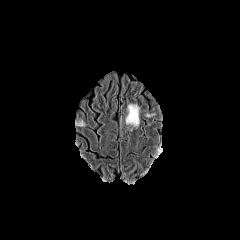
FLAIR magnetic resonance.
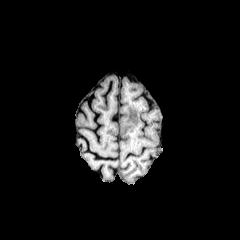
Same slice, T1-weighted MR image.
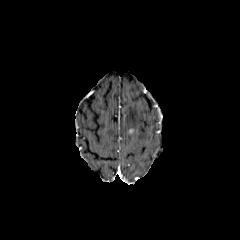
Post-contrast T1-weighted MR image.
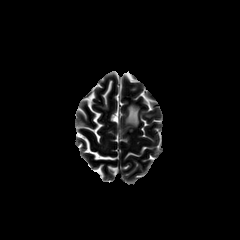
Same slice, T2-weighted MR image.
Head
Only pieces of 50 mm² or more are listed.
{
  "peritumoral_edema": [
    "75 120 85 125",
    "125 104 139 127"
  ]
}